FLAIR MR image.
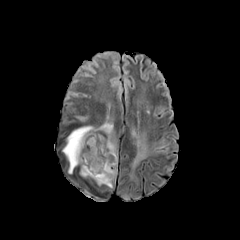
T1-weighted magnetic resonance.
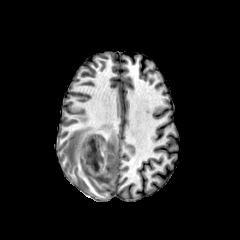
Post-contrast T1-weighted MR image.
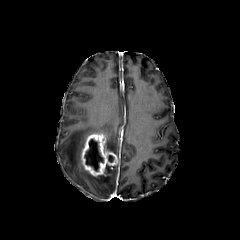
T2-weighted MRI.
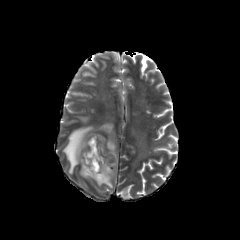
Axial slice; Image size 240x240
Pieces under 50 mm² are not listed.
peritumoral edema: left=61, top=122, right=118, bottom=173; left=80, top=166, right=117, bottom=188 | enhancing tumor: left=81, top=133, right=118, bottom=176 | necrotic tumor core: left=85, top=139, right=103, bottom=171